FLAIR magnetic resonance.
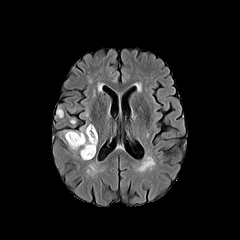
T1-weighted MRI.
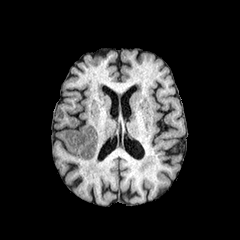
Post-contrast T1-weighted magnetic resonance.
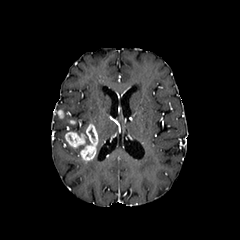
T2-weighted MR image.
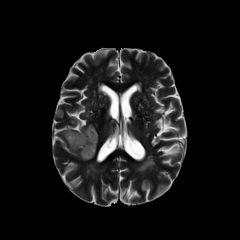
240x240 px, Axial view, Brain
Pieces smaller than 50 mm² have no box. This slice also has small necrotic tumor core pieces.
peritumoral edema: 73,126,86,135 | enhancing tumor: 80,124,98,160; 65,131,86,148